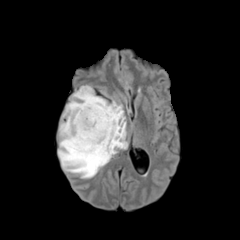
FLAIR MR image.
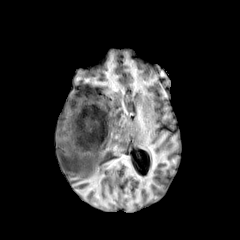
T1-weighted magnetic resonance.
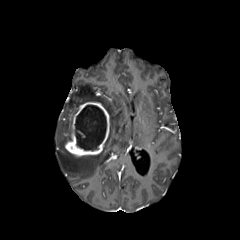
Same slice, post-contrast T1-weighted magnetic resonance.
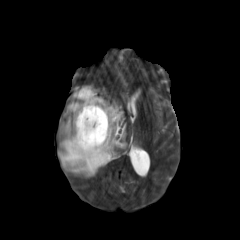
T2-weighted MRI.
Axial plane.
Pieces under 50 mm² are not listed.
peritumoral edema — rect(58, 85, 127, 178)
necrotic tumor core — rect(75, 105, 106, 150)
enhancing tumor — rect(65, 102, 110, 157)